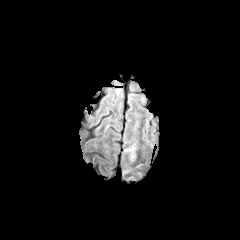
FLAIR magnetic resonance.
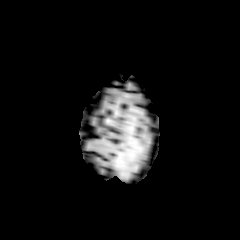
T1-weighted magnetic resonance.
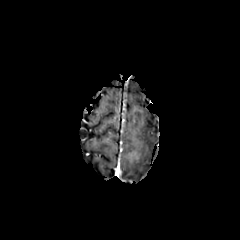
Post-contrast T1-weighted MR image.
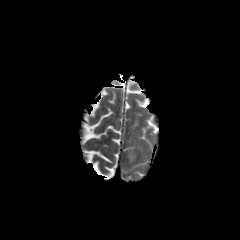
T2-weighted MR image of the same slice.
Head
The peritumoral edema is at bbox=[124, 145, 136, 161].